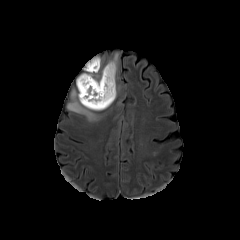
FLAIR MR.
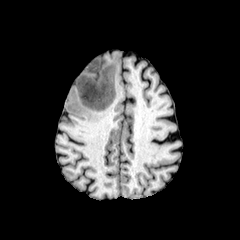
T1-weighted MR image.
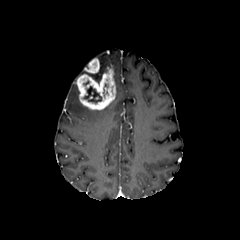
Same slice, post-contrast T1-weighted MR image.
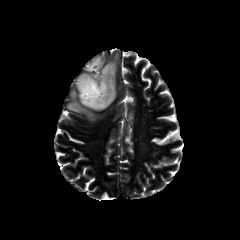
T2-weighted magnetic resonance of the same slice.
Axial slice, Brain, Image size 240x240
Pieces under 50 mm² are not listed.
Findings:
* necrotic tumor core: bbox(83, 86, 101, 103)
* enhancing tumor: bbox(76, 65, 115, 110); bbox(84, 58, 99, 73)
* peritumoral edema: bbox(83, 53, 118, 96); bbox(67, 89, 99, 121)